FLAIR magnetic resonance.
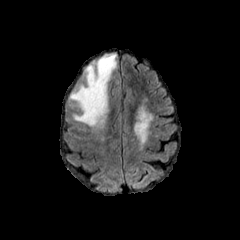
T1-weighted MRI.
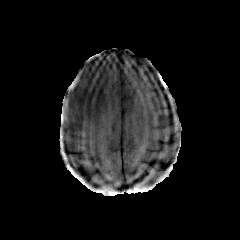
Post-contrast T1-weighted MR image.
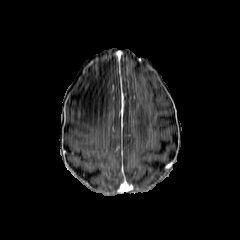
T2-weighted magnetic resonance.
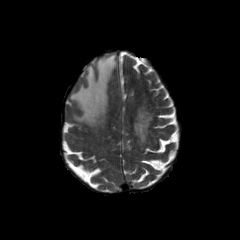
Image size 240x240, Axial plane
The peritumoral edema is located at (68, 53, 116, 128).